FLAIR MRI.
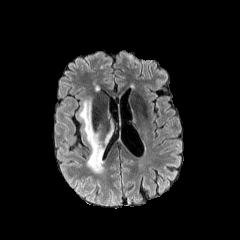
T1-weighted MRI.
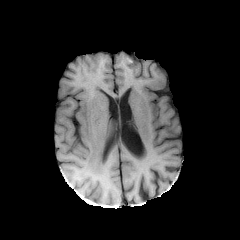
Post-contrast T1-weighted MR image.
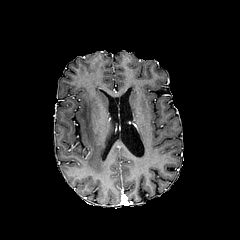
T2-weighted MRI.
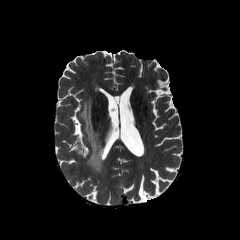
The peritumoral edema is bounded by region(79, 98, 111, 172).